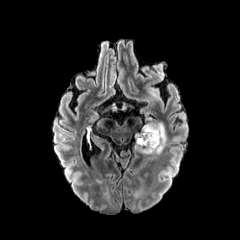
FLAIR MR.
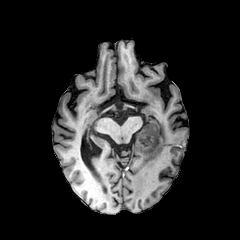
T1-weighted magnetic resonance of the same slice.
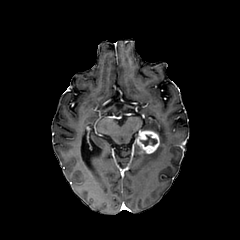
Post-contrast T1-weighted MR image.
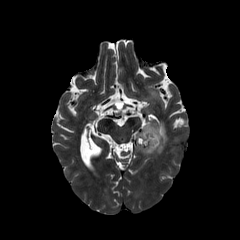
Same slice, T2-weighted MRI.
Image size 240x240, Axial plane
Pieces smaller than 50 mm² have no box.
peritumoral edema = bbox=[141, 120, 167, 155]
necrotic tumor core = bbox=[140, 135, 156, 145]
enhancing tumor = bbox=[134, 129, 159, 153]